Head; Slice index 86; Axial plane; 240x240
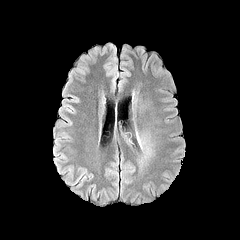
FLAIR magnetic resonance.
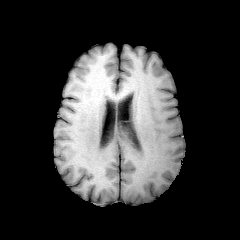
T1-weighted MR image.
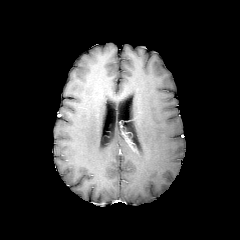
Post-contrast T1-weighted MR image.
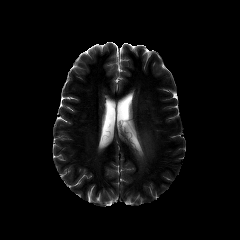
T2-weighted MRI.
peritumoral edema at 136 131 150 154